Head, Image size 240x240, Image width 240 mm, Axial view
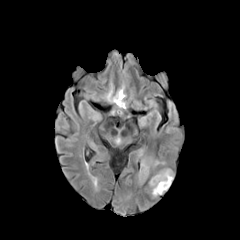
FLAIR MR.
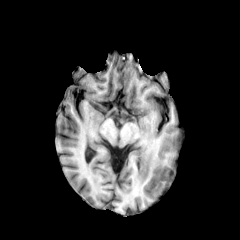
T1-weighted MR image of the same slice.
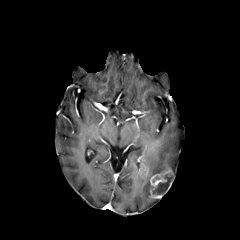
Post-contrast T1-weighted magnetic resonance.
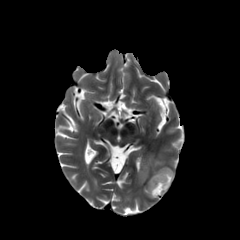
Same slice, T2-weighted MR.
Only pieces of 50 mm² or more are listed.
<segmentation>
  <peritumoral_edema>bbox(140, 154, 165, 173); bbox(137, 169, 146, 183)</peritumoral_edema>
  <enhancing_tumor>bbox(139, 166, 148, 177); bbox(149, 167, 173, 198)</enhancing_tumor>
  <necrotic_tumor_core>bbox(153, 174, 173, 194)</necrotic_tumor_core>
</segmentation>